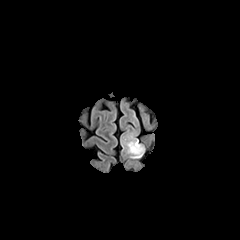
FLAIR MR.
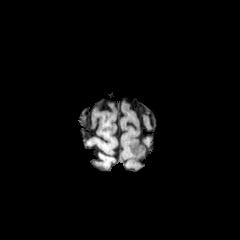
T1-weighted MRI.
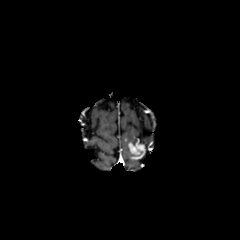
Post-contrast T1-weighted MR of the same slice.
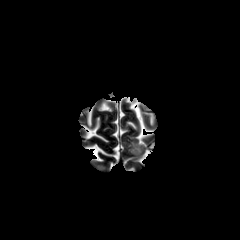
Same slice, T2-weighted MR image.
Brain
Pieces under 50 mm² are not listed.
The peritumoral edema is bounded by box=[121, 132, 137, 157]. The largest enhancing tumor region is bounded by box=[128, 140, 145, 159].